Axial plane. Image size 240x240. Slice 104 of 155.
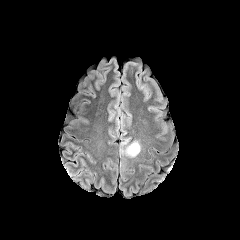
FLAIR magnetic resonance.
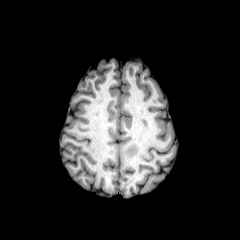
T1-weighted MRI.
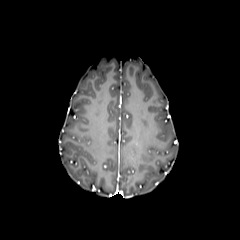
Same slice, post-contrast T1-weighted MRI.
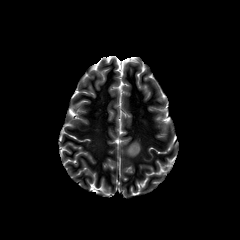
T2-weighted MRI of the same slice.
{"peritumoral_edema": ["120 137 141 157"]}